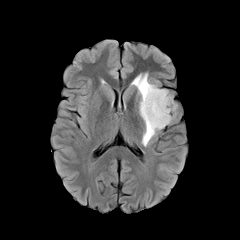
FLAIR MRI.
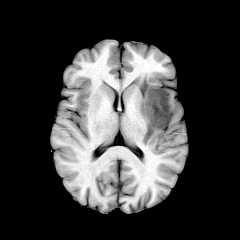
T1-weighted MRI.
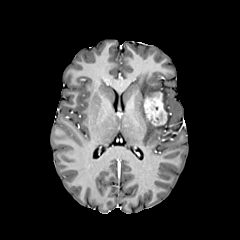
Post-contrast T1-weighted MRI.
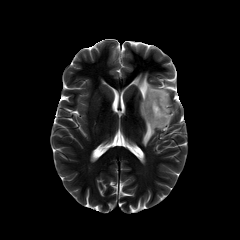
T2-weighted MRI.
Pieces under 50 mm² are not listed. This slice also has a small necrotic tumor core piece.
The peritumoral edema is located at {"x1": 131, "y1": 73, "x2": 176, "y2": 146}. The enhancing tumor is bounded by {"x1": 144, "y1": 92, "x2": 167, "y2": 125}.